Axial plane
FLAIR MR image.
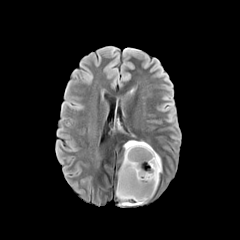
T1-weighted MR.
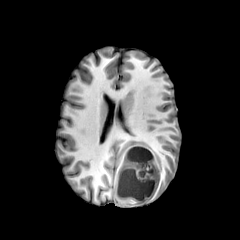
Post-contrast T1-weighted MR.
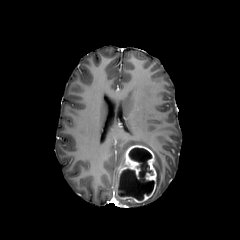
T2-weighted MR.
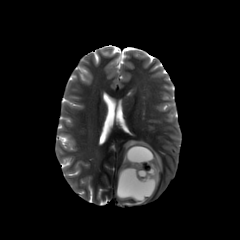
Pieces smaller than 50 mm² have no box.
The 2 largest peritumoral edema regions are bounded by region(124, 140, 162, 188); region(122, 202, 144, 205). The necrotic tumor core is bounded by region(117, 148, 154, 200). The largest enhancing tumor region appears at region(116, 145, 156, 202).